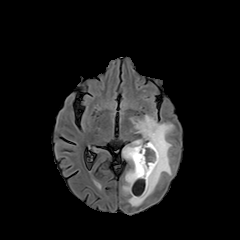
FLAIR MR image.
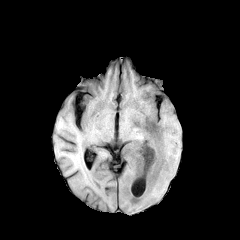
T1-weighted MRI.
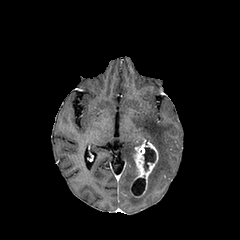
Post-contrast T1-weighted MR image.
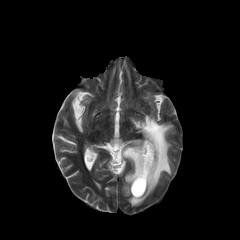
Same slice, T2-weighted MRI.
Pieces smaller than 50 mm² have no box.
<segmentation>
  <enhancing_tumor>bbox=[133, 141, 158, 196]</enhancing_tumor>
  <necrotic_tumor_core>bbox=[143, 147, 155, 170]; bbox=[132, 178, 145, 195]</necrotic_tumor_core>
  <peritumoral_edema>bbox=[122, 115, 173, 206]</peritumoral_edema>
</segmentation>